FLAIR MRI.
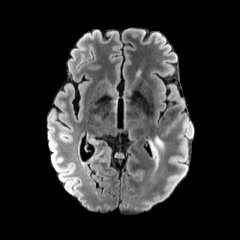
T1-weighted magnetic resonance.
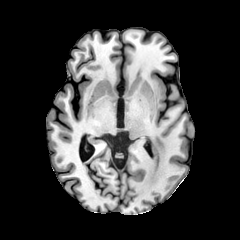
Post-contrast T1-weighted MR.
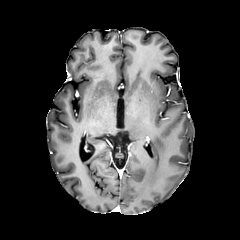
T2-weighted MR.
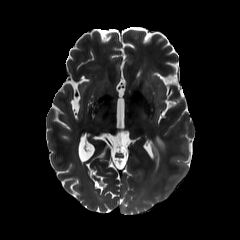
Axial view
peritumoral_edema:
  - (150,137,163,166)